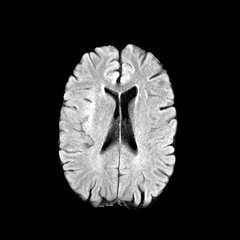
FLAIR MR image.
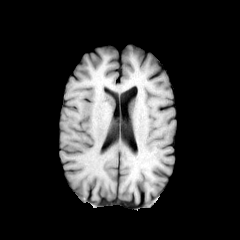
T1-weighted MR image of the same slice.
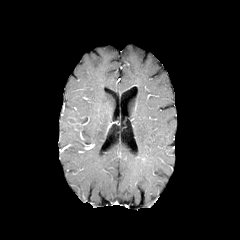
Post-contrast T1-weighted MRI.
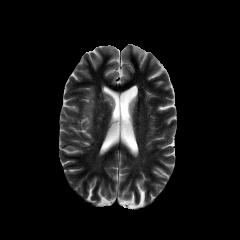
T2-weighted MRI.
240x240 px
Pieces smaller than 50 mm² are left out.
{"peritumoral_edema": ["l=85, t=104, r=93, b=117"]}